Head, Slice 100 of 155, Axial view
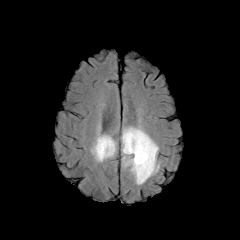
FLAIR MR.
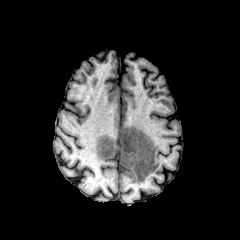
T1-weighted MRI of the same slice.
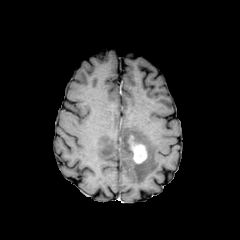
Post-contrast T1-weighted MR of the same slice.
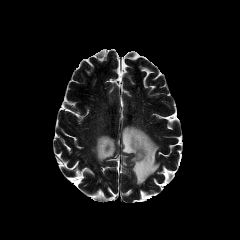
T2-weighted MR image.
Annotated regions:
• enhancing tumor: left=128, top=135, right=147, bottom=163
• peritumoral edema: left=121, top=126, right=159, bottom=184; left=91, top=134, right=115, bottom=161